Axial slice. Slice 131/155.
FLAIR MR image.
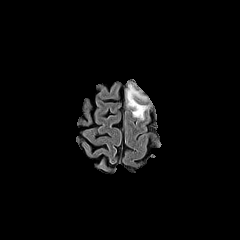
T1-weighted MRI.
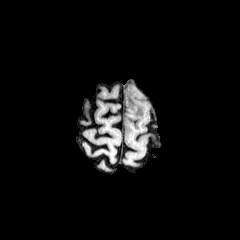
Post-contrast T1-weighted magnetic resonance.
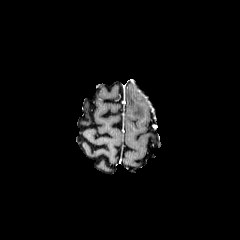
T2-weighted MRI.
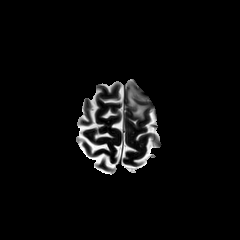
Annotated regions:
• peritumoral edema: (127, 84, 147, 119)